Image width 240 mm, 1.00 mm slice spacing; Slice index 53; Axial slice
FLAIR magnetic resonance.
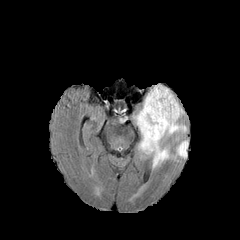
T1-weighted MR.
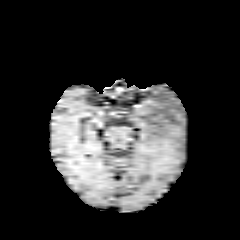
Post-contrast T1-weighted MRI.
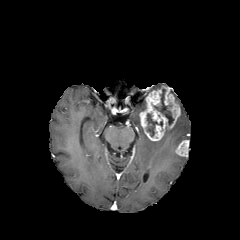
T2-weighted MR image.
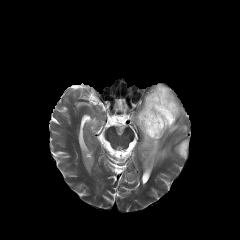
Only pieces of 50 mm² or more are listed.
<segmentation>
  <enhancing_tumor>[139,86,180,140], [175,140,188,156]</enhancing_tumor>
  <necrotic_tumor_core>[147,114,162,136], [154,97,172,125]</necrotic_tumor_core>
  <peritumoral_edema>[133,101,186,167]</peritumoral_edema>
</segmentation>